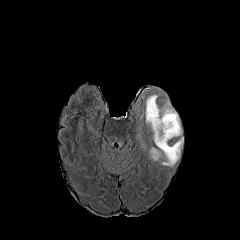
FLAIR MR image.
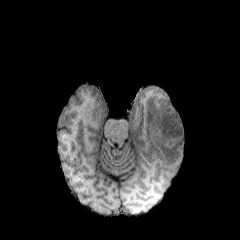
T1-weighted MRI.
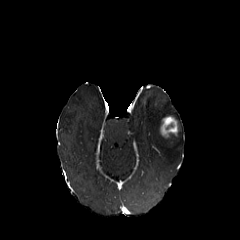
Post-contrast T1-weighted MR of the same slice.
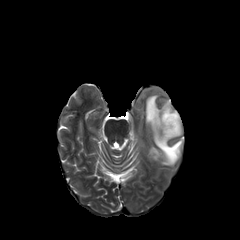
Same slice, T2-weighted MRI.
240x240 px | Head
enhancing tumor: bbox=[160, 116, 178, 138] | peritumoral edema: bbox=[145, 95, 182, 166]; bbox=[150, 148, 159, 160]